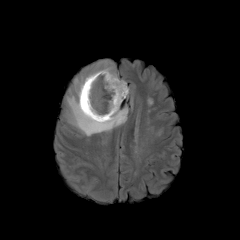
FLAIR MR.
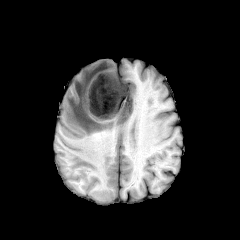
T1-weighted MRI.
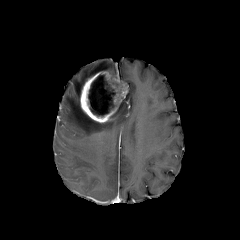
Post-contrast T1-weighted MRI.
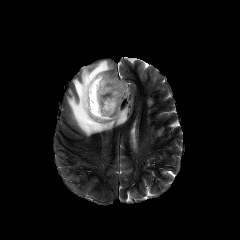
Same slice, T2-weighted MRI.
Head.
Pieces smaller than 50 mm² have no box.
Findings:
- peritumoral edema: 64:59:128:136
- necrotic tumor core: 88:75:115:116
- enhancing tumor: 80:70:128:122